Image size 240x240. Slice 73/155. Head.
FLAIR MRI.
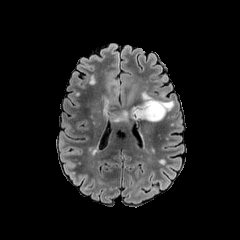
T1-weighted magnetic resonance.
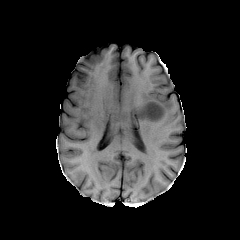
Post-contrast T1-weighted magnetic resonance.
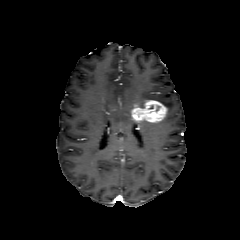
T2-weighted magnetic resonance.
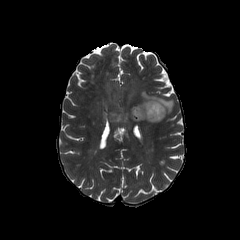
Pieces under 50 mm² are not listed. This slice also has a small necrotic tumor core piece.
Findings:
- enhancing tumor: rect(131, 100, 167, 122)
- peritumoral edema: rect(114, 110, 131, 121); rect(138, 91, 174, 113)